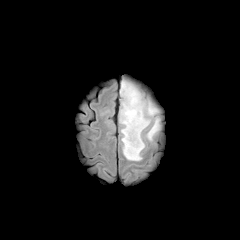
FLAIR MR.
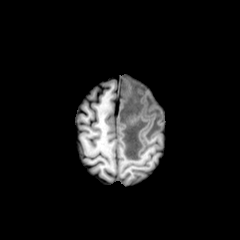
T1-weighted MR image.
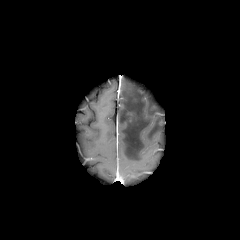
Same slice, post-contrast T1-weighted MRI.
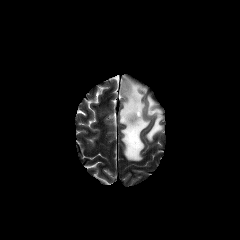
T2-weighted MR of the same slice.
Brain
2 peritumoral edema regions appear at left=120, top=81, right=158, bottom=160; left=146, top=117, right=160, bottom=141.